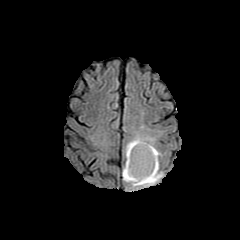
FLAIR magnetic resonance.
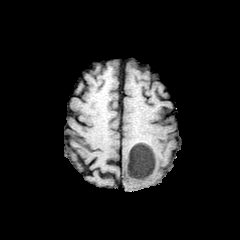
T1-weighted MR image.
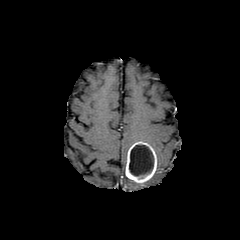
Same slice, post-contrast T1-weighted magnetic resonance.
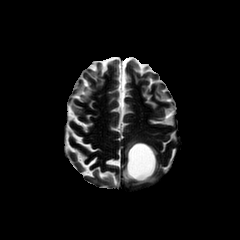
Same slice, T2-weighted MRI.
Head
The enhancing tumor lies within <box>125,141,156,183</box>. The peritumoral edema appears at <box>122,134,162,189</box>. The necrotic tumor core is bounded by <box>129,145,153,176</box>.